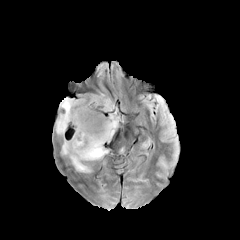
FLAIR magnetic resonance.
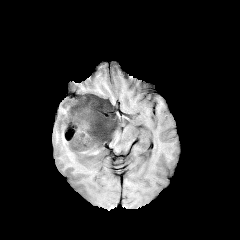
T1-weighted MR image.
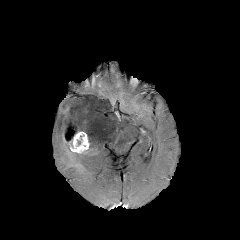
Post-contrast T1-weighted MR of the same slice.
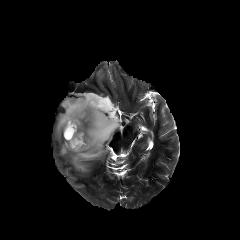
T2-weighted MR image.
Brain
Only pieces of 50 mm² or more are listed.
• enhancing tumor: 64:123:89:153
• necrotic tumor core: 65:124:76:139
• peritumoral edema: 55:93:120:172